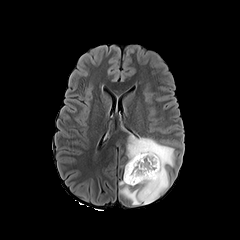
FLAIR magnetic resonance.
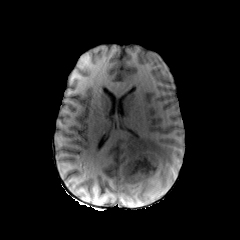
T1-weighted MR image.
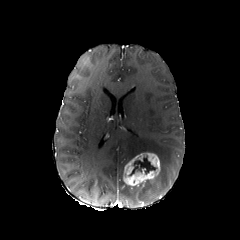
Post-contrast T1-weighted magnetic resonance.
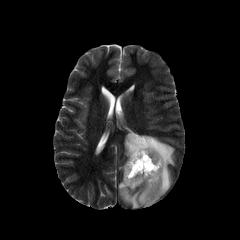
T2-weighted magnetic resonance of the same slice.
Axial slice | Head
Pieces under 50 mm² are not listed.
The necrotic tumor core lies within x1=129, y1=156, x2=155, y2=175. The peritumoral edema is bounded by x1=119, y1=134, x2=174, y2=205. The largest enhancing tumor region is bounded by x1=123, y1=152, x2=160, y2=188.